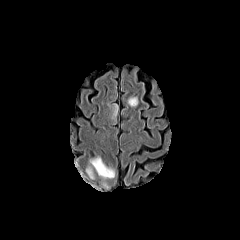
FLAIR magnetic resonance.
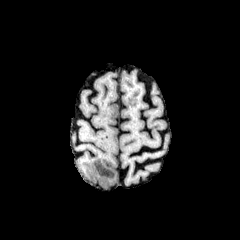
T1-weighted MRI of the same slice.
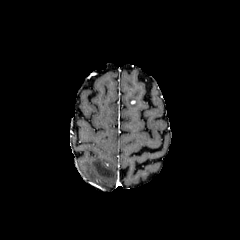
Post-contrast T1-weighted MR image of the same slice.
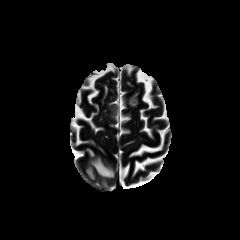
T2-weighted MRI of the same slice.
Brain.
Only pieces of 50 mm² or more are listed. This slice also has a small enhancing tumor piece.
Segmented structures:
* peritumoral edema: box(127, 93, 138, 108); box(85, 155, 115, 179); box(107, 102, 118, 123)